FLAIR MR.
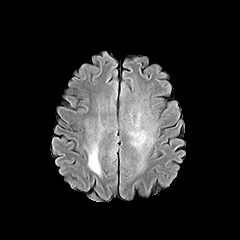
T1-weighted MR.
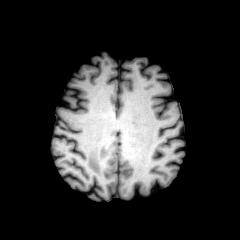
Post-contrast T1-weighted magnetic resonance.
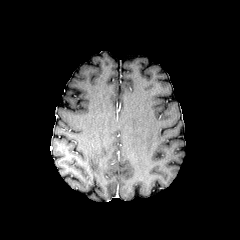
T2-weighted MR image.
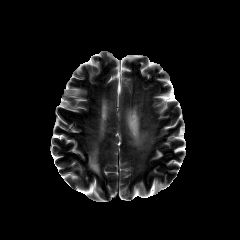
240x240, Head
Annotated regions:
* peritumoral edema: bbox(88, 143, 100, 175)